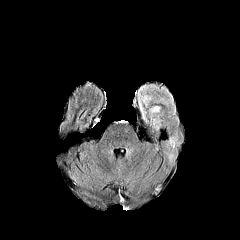
FLAIR MR image.
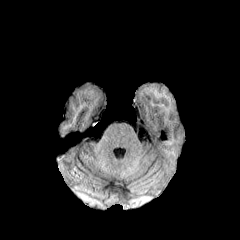
Same slice, T1-weighted MRI.
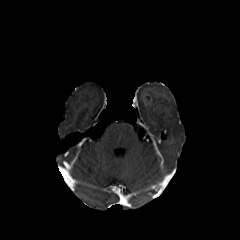
Same slice, post-contrast T1-weighted magnetic resonance.
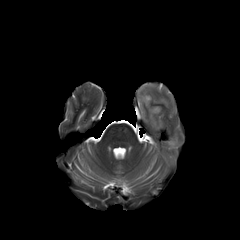
T2-weighted magnetic resonance of the same slice.
Image size 240x240
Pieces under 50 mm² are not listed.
<segmentation>
  <peritumoral_edema>x1=168 y1=136 x2=178 y2=148, x1=149 y1=106 x2=160 y2=115, x1=137 y1=86 x2=150 y2=119</peritumoral_edema>
</segmentation>